FLAIR MR image.
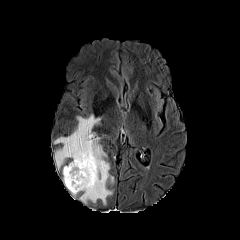
T1-weighted magnetic resonance.
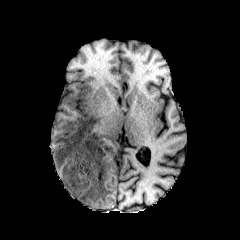
Post-contrast T1-weighted MRI.
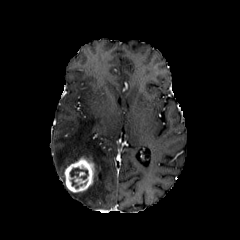
T2-weighted MR image.
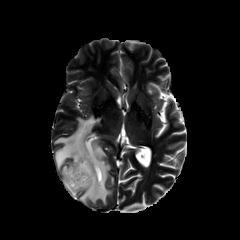
Brain
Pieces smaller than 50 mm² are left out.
necrotic tumor core at 70 168 87 179
enhancing tumor at 64 156 95 192
peritumoral edema at 54 114 114 204